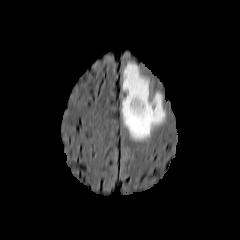
FLAIR magnetic resonance.
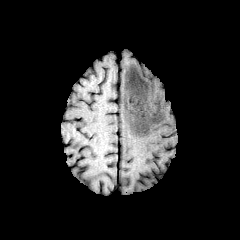
T1-weighted MR.
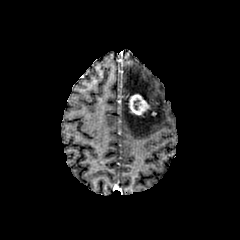
Same slice, post-contrast T1-weighted magnetic resonance.
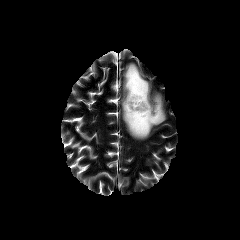
Same slice, T2-weighted MRI.
Axial view, 240x240 px, Brain
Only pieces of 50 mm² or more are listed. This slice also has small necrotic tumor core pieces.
enhancing_tumor:
  - {"x1": 128, "y1": 94, "x2": 150, "y2": 116}
peritumoral_edema:
  - {"x1": 122, "y1": 62, "x2": 165, "y2": 140}